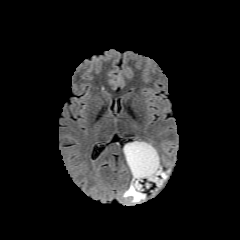
FLAIR MR.
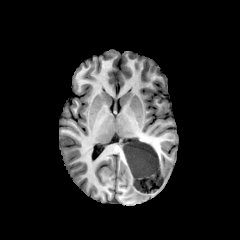
Same slice, T1-weighted magnetic resonance.
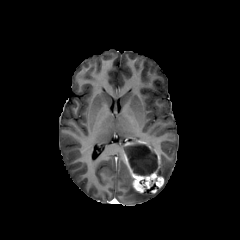
Post-contrast T1-weighted MRI.
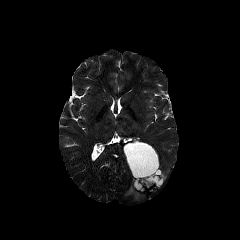
T2-weighted MR image.
Brain
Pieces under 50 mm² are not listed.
The largest necrotic tumor core region is bounded by bbox=[124, 144, 158, 175]. The largest enhancing tumor region is at bbox=[123, 140, 163, 192]. The 2 largest peritumoral edema regions are located at bbox=[123, 179, 145, 202]; bbox=[157, 164, 169, 180].